FLAIR MR.
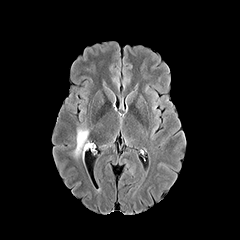
T1-weighted magnetic resonance.
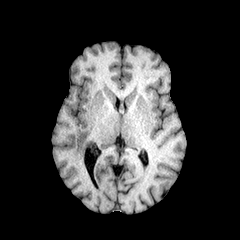
Post-contrast T1-weighted MR image.
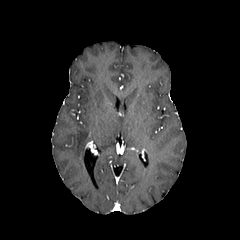
T2-weighted MR.
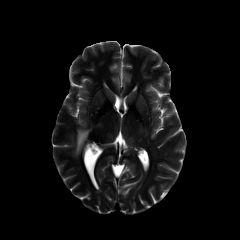
Brain | Axial view
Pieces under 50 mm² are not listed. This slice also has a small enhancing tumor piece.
<segmentation>
  <peritumoral_edema>l=74, t=128, r=88, b=157</peritumoral_edema>
</segmentation>